240x240 | Head
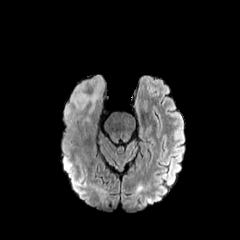
FLAIR MR image.
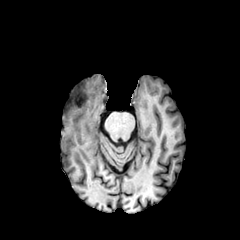
T1-weighted MRI.
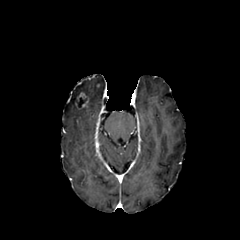
Post-contrast T1-weighted MR.
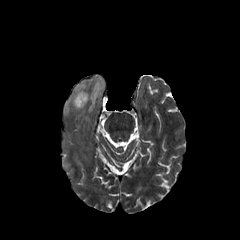
Same slice, T2-weighted MR image.
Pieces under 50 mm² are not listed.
The largest peritumoral edema region lies within (x1=64, y1=75, x2=104, y2=118). The necrotic tumor core appears at (x1=78, y1=97, x2=86, y2=106). The enhancing tumor is located at (x1=75, y1=91, x2=89, y2=108).